FLAIR MR image.
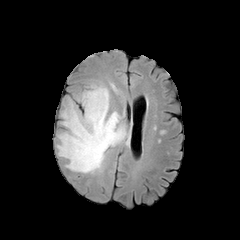
T1-weighted MR image.
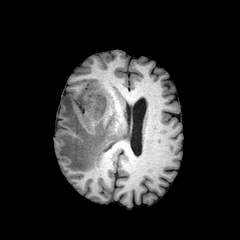
Post-contrast T1-weighted MR.
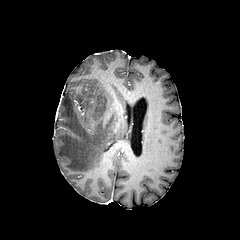
T2-weighted MR.
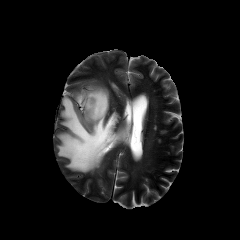
Brain.
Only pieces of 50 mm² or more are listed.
• peritumoral edema: 57:83:126:173